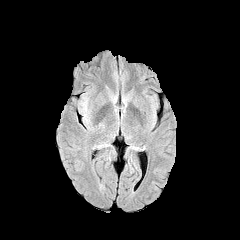
FLAIR MR.
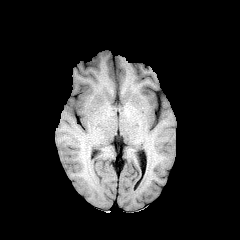
Same slice, T1-weighted MRI.
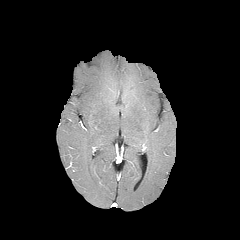
Post-contrast T1-weighted MR of the same slice.
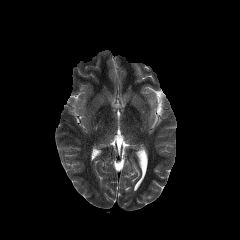
Same slice, T2-weighted MR.
Head | Axial plane
Segmented structures:
• peritumoral edema: x1=79 y1=98 x2=87 y2=121